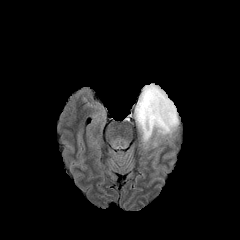
FLAIR MRI.
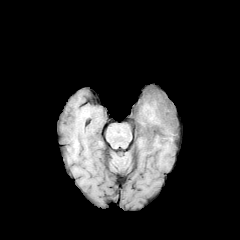
T1-weighted MRI.
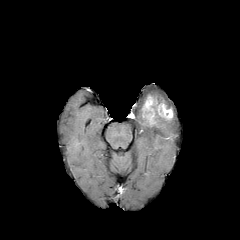
Post-contrast T1-weighted MR of the same slice.
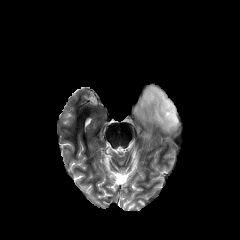
T2-weighted MRI.
Brain, Axial view
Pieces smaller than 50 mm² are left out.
<segmentation>
  <enhancing_tumor><bbox>142, 95, 173, 125</bbox></enhancing_tumor>
  <peritumoral_edema><bbox>134, 84, 179, 143</bbox></peritumoral_edema>
</segmentation>